FLAIR magnetic resonance.
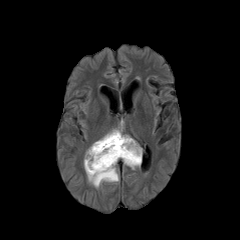
T1-weighted MRI.
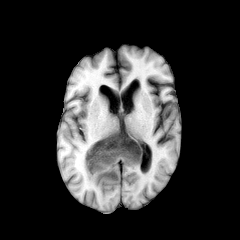
Post-contrast T1-weighted MR image.
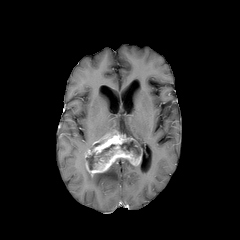
T2-weighted MRI.
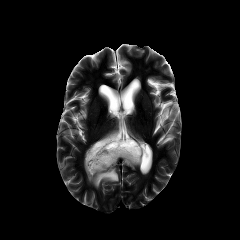
240x240. Axial view.
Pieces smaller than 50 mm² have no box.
enhancing tumor — [85, 130, 142, 176]
peritumoral edema — [110, 121, 122, 133], [84, 158, 119, 188], [123, 159, 140, 169]
necrotic tumor core — [120, 140, 140, 155], [87, 153, 97, 169], [97, 144, 115, 159]